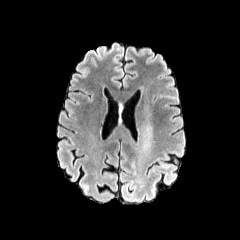
FLAIR magnetic resonance.
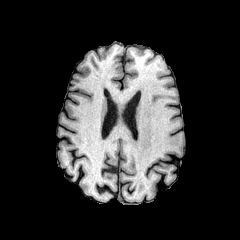
Same slice, T1-weighted MRI.
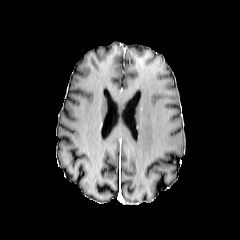
Post-contrast T1-weighted magnetic resonance of the same slice.
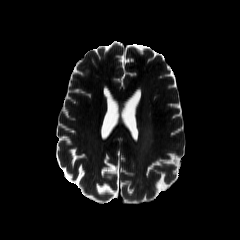
T2-weighted MR image.
The peritumoral edema is located at [144, 126, 151, 144].